FLAIR MR image.
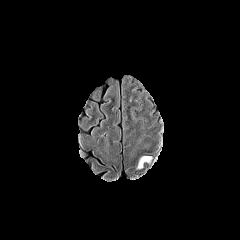
T1-weighted MR image.
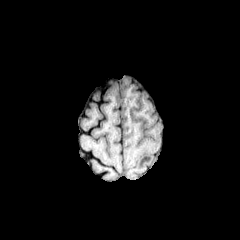
Post-contrast T1-weighted MR.
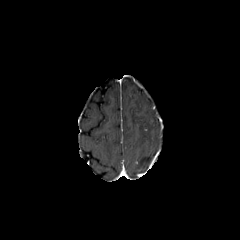
T2-weighted MR.
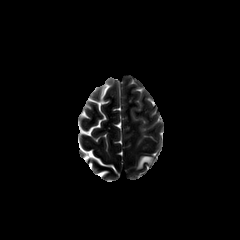
240x240
The peritumoral edema is located at [137,156,151,168].